Head. Image covers 240 mm x 240 mm.
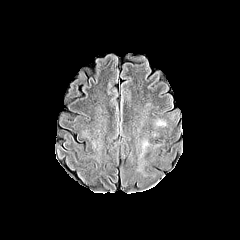
FLAIR MR image.
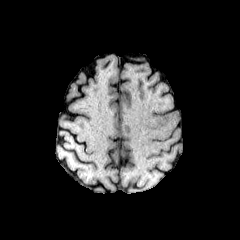
T1-weighted magnetic resonance.
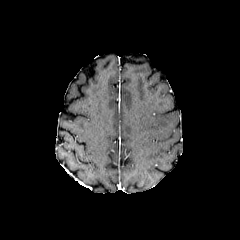
Post-contrast T1-weighted MR.
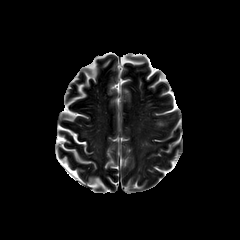
Same slice, T2-weighted magnetic resonance.
2 peritumoral edema regions are bounded by <box>152,118,166,127</box>, <box>140,138,149,156</box>.